Axial slice.
FLAIR magnetic resonance.
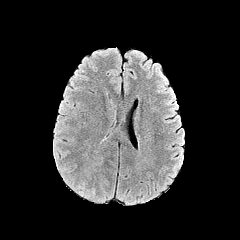
T1-weighted MRI.
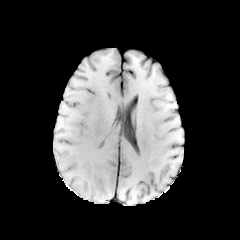
Post-contrast T1-weighted MR.
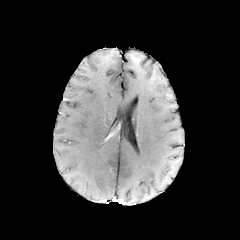
T2-weighted MR image.
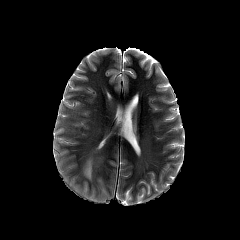
peritumoral edema: 84:164:91:177